FLAIR MRI.
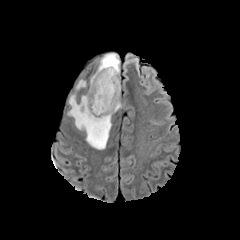
T1-weighted magnetic resonance.
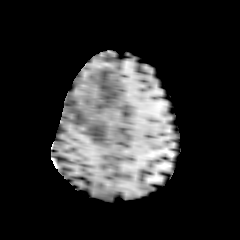
Post-contrast T1-weighted MR image.
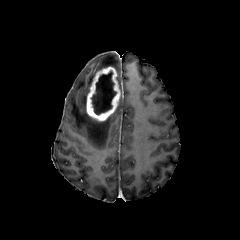
T2-weighted magnetic resonance.
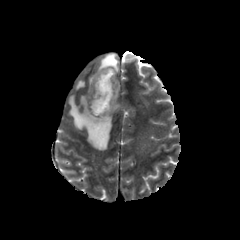
Brain; Axial slice
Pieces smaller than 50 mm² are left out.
The 3 largest peritumoral edema regions appear at [x1=98, y1=53, x2=119, y2=74], [x1=76, y1=80, x2=85, y2=89], [x1=68, y1=95, x2=111, y2=149]. The enhancing tumor appears at [x1=86, y1=66, x2=120, y2=121]. The necrotic tumor core appears at [x1=91, y1=71, x2=115, y2=114].